Slice index 80. Brain. 240x240 px. Image covers 240 mm x 240 mm. Axial slice.
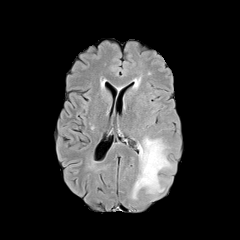
FLAIR MRI.
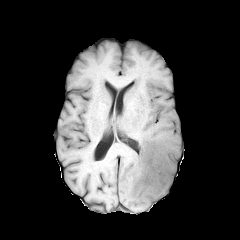
T1-weighted magnetic resonance of the same slice.
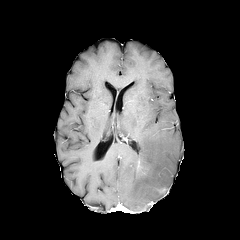
Post-contrast T1-weighted MRI.
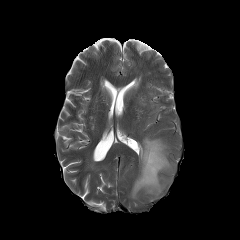
T2-weighted MRI.
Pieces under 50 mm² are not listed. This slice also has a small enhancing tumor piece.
The peritumoral edema lies within [131, 137, 173, 199].